FLAIR MR image.
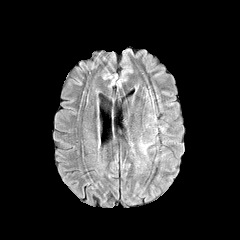
T1-weighted MRI.
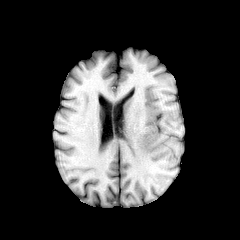
Post-contrast T1-weighted MRI.
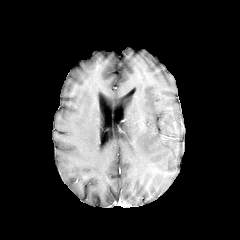
T2-weighted MR.
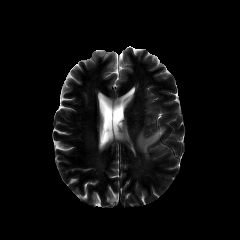
Axial slice; Head
Findings:
* peritumoral edema: (left=140, top=143, right=151, bottom=153)